Head.
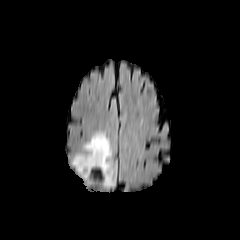
FLAIR magnetic resonance.
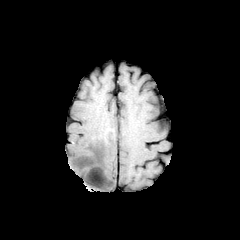
T1-weighted MR image.
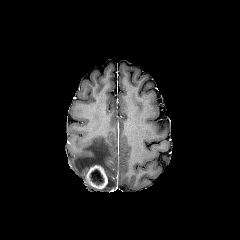
Same slice, post-contrast T1-weighted MR.
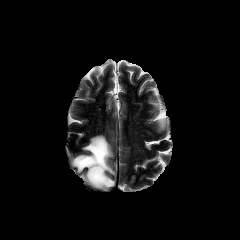
T2-weighted magnetic resonance.
enhancing tumor: bounding box left=85, top=165, right=108, bottom=188
peritumoral edema: bounding box left=71, top=133, right=116, bottom=188
necrotic tumor core: bounding box left=90, top=169, right=103, bottom=184